FLAIR magnetic resonance.
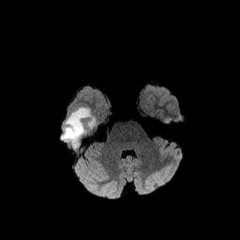
T1-weighted MR.
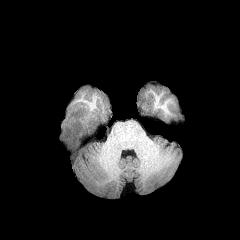
Post-contrast T1-weighted MRI.
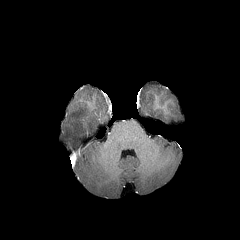
T2-weighted MR image.
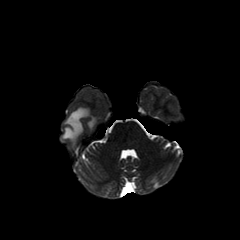
Brain
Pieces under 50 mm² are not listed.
The largest peritumoral edema region is at [x1=62, y1=107, x2=90, y2=142].